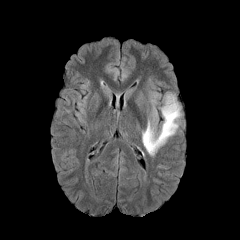
FLAIR magnetic resonance.
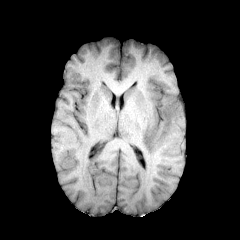
T1-weighted MR.
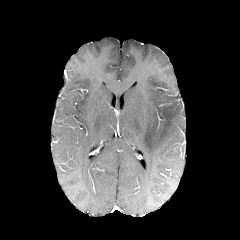
Same slice, post-contrast T1-weighted MRI.
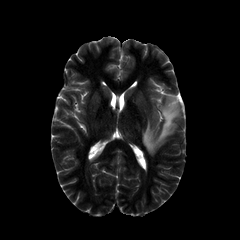
Same slice, T2-weighted MR image.
Axial view. Head.
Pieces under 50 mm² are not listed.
The largest peritumoral edema region lies within (left=142, top=93, right=181, bottom=155).